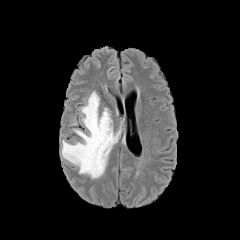
FLAIR MR image.
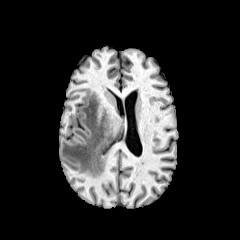
T1-weighted MRI of the same slice.
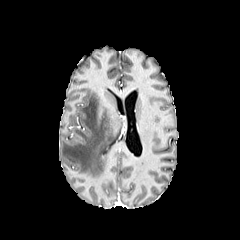
Post-contrast T1-weighted MRI of the same slice.
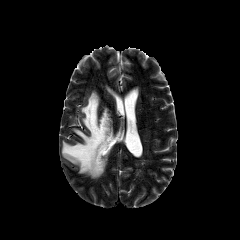
T2-weighted magnetic resonance.
The peritumoral edema appears at <box>62,91,119,178</box>.